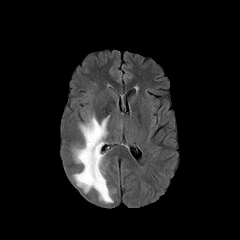
FLAIR magnetic resonance.
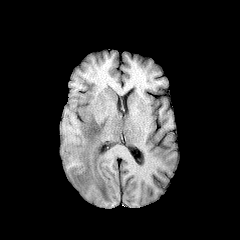
T1-weighted magnetic resonance.
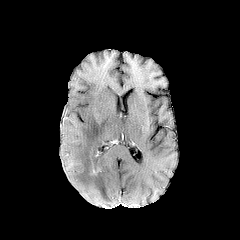
Post-contrast T1-weighted MR.
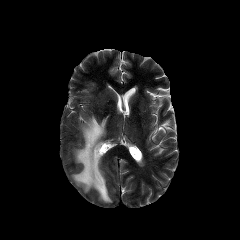
Same slice, T2-weighted MR image.
Axial slice | Image size 240x240
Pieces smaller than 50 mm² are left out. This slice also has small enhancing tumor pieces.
The peritumoral edema is at (72,115,113,203).